Image size 240x240
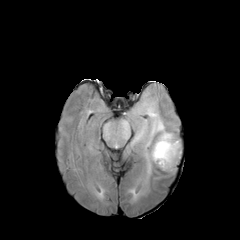
FLAIR MRI.
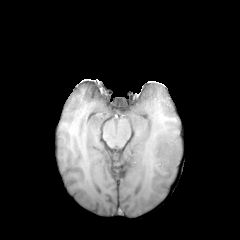
T1-weighted MRI.
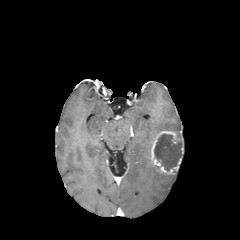
Same slice, post-contrast T1-weighted MR.
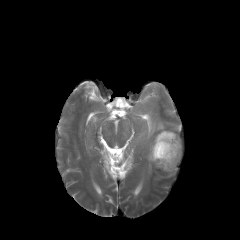
T2-weighted MRI of the same slice.
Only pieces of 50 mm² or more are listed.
The enhancing tumor is at bbox=[150, 131, 183, 174]. The 2 largest peritumoral edema regions are bounded by bbox=[129, 189, 137, 200]; bbox=[131, 99, 178, 182]. The necrotic tumor core lies within bbox=[154, 134, 182, 171].